FLAIR MR.
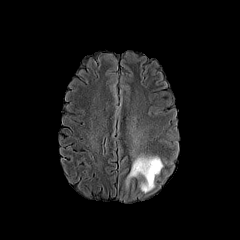
T1-weighted MR.
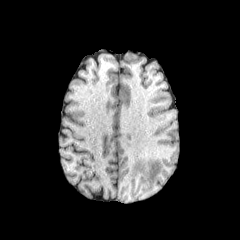
Post-contrast T1-weighted MRI.
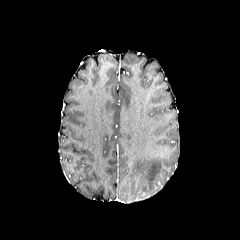
T2-weighted MR.
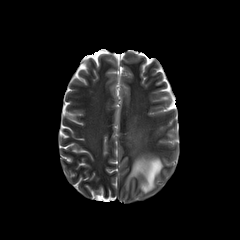
The peritumoral edema lies within <box>126,154,163,192</box>.